Slice 96 of 155. 240x240 px. Brain.
FLAIR MR image.
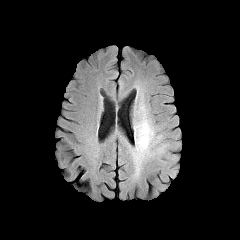
T1-weighted MRI.
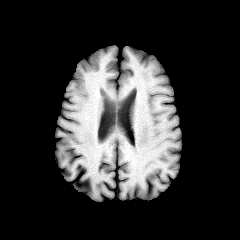
Post-contrast T1-weighted MR.
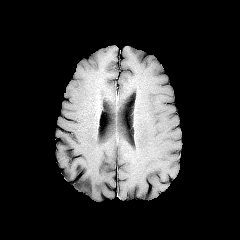
T2-weighted MR.
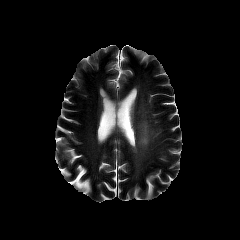
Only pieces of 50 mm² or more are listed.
<segmentation>
  <peritumoral_edema>135, 114, 154, 156</peritumoral_edema>
</segmentation>